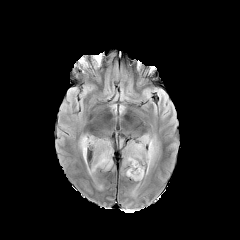
FLAIR MR.
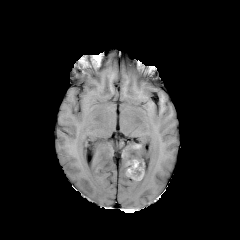
T1-weighted MR.
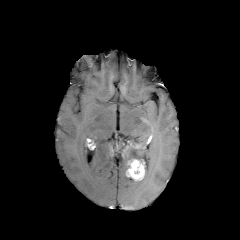
Post-contrast T1-weighted MRI.
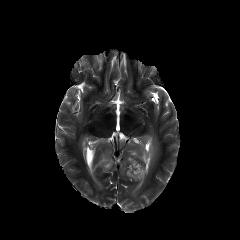
Same slice, T2-weighted MR image.
Brain; Axial plane
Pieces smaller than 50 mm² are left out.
peritumoral edema at bbox(87, 136, 112, 175); bbox(125, 134, 157, 175); bbox(80, 136, 86, 163)
enhancing tumor at bbox(126, 159, 144, 180)